Axial view. 240x240. Slice index 80.
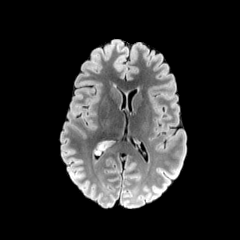
FLAIR MR image.
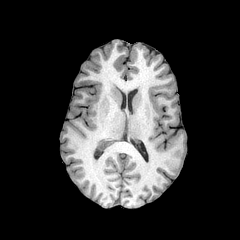
T1-weighted MR.
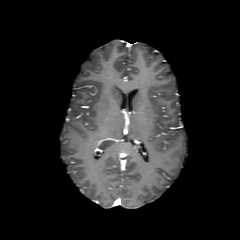
Same slice, post-contrast T1-weighted MR image.
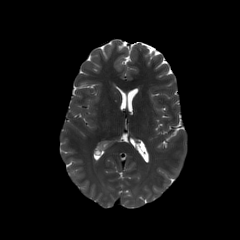
T2-weighted magnetic resonance of the same slice.
<segmentation>
  <peritumoral_edema>bbox(94, 138, 115, 150)</peritumoral_edema>
</segmentation>